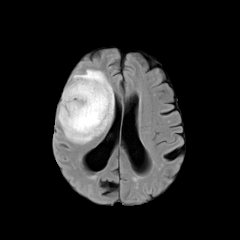
FLAIR magnetic resonance.
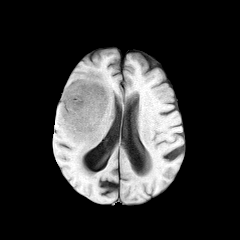
Same slice, T1-weighted MRI.
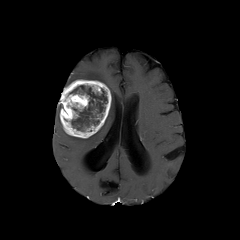
Post-contrast T1-weighted MR image.
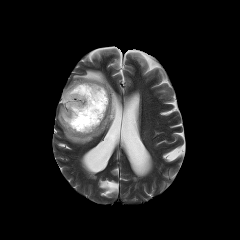
T2-weighted MR image.
Head
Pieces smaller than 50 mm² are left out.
necrotic tumor core at [70, 85, 107, 130]
enhancing tumor at [60, 79, 111, 138]
peritumoral edema at [64, 69, 114, 144]